Axial plane, Brain
FLAIR MR.
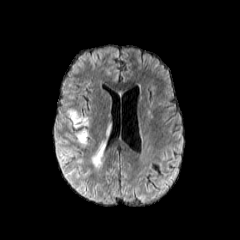
T1-weighted MR.
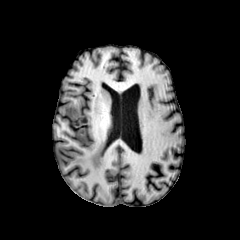
Post-contrast T1-weighted MR.
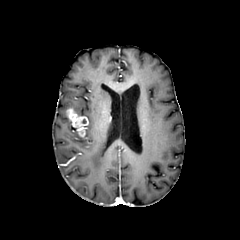
T2-weighted magnetic resonance.
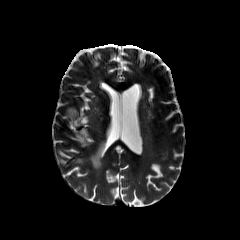
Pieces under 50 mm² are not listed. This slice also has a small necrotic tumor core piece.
• enhancing tumor: box(66, 108, 88, 137)
• peritumoral edema: box(91, 143, 104, 168); box(77, 130, 87, 143)